Brain.
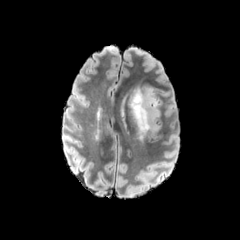
FLAIR magnetic resonance.
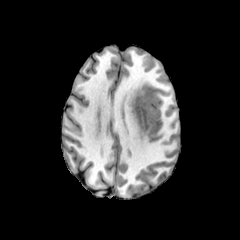
T1-weighted MR of the same slice.
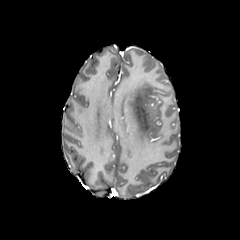
Post-contrast T1-weighted MR image of the same slice.
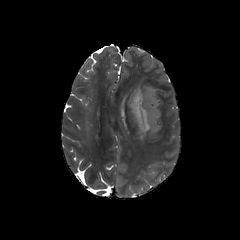
T2-weighted MRI.
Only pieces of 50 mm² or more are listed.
peritumoral_edema:
  - rect(128, 80, 160, 140)